Head | Slice index 131
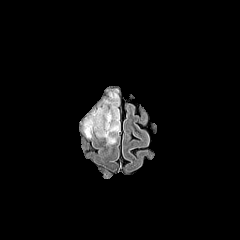
FLAIR magnetic resonance.
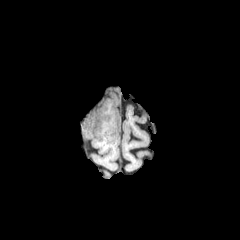
T1-weighted magnetic resonance.
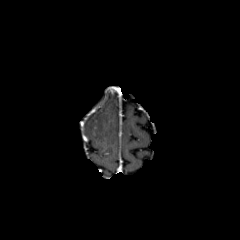
Post-contrast T1-weighted MR.
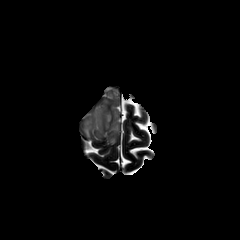
Same slice, T2-weighted MRI.
{
  "peritumoral_edema": [
    "x1=84 y1=92 x2=119 y2=143"
  ]
}